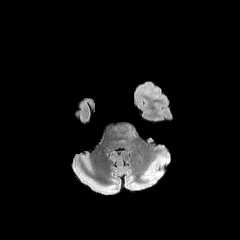
FLAIR MR.
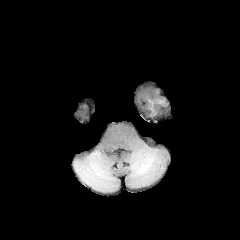
T1-weighted magnetic resonance of the same slice.
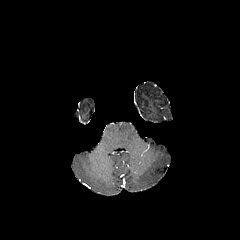
Same slice, post-contrast T1-weighted MR image.
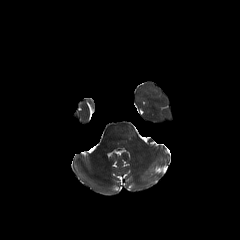
T2-weighted MR image.
Annotated regions:
* peritumoral edema: (left=120, top=125, right=134, bottom=136)